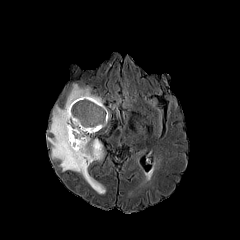
FLAIR MR.
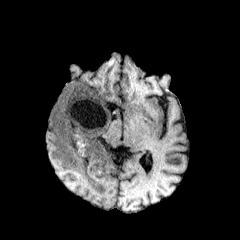
T1-weighted magnetic resonance.
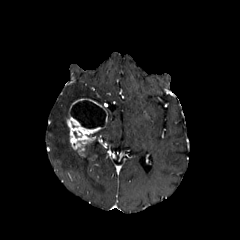
Post-contrast T1-weighted MR image of the same slice.
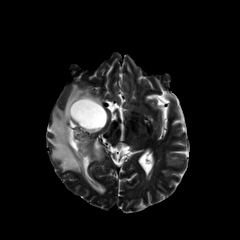
T2-weighted MR image.
240x240.
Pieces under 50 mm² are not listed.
Findings:
• peritumoral edema: (47, 83, 105, 193)
• necrotic tumor core: (70, 100, 106, 128)
• enhancing tumor: (66, 98, 107, 156)